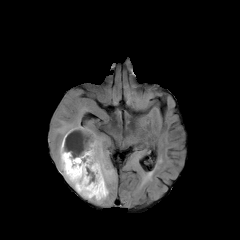
FLAIR MRI.
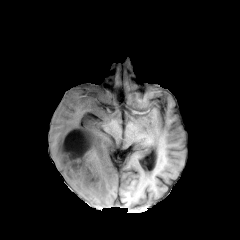
T1-weighted MR image of the same slice.
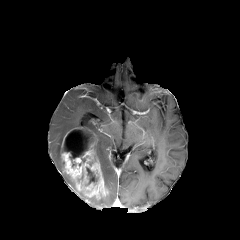
Same slice, post-contrast T1-weighted magnetic resonance.
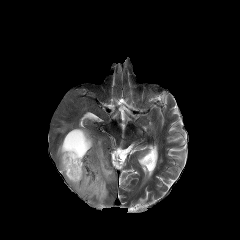
T2-weighted MR.
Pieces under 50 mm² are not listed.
The enhancing tumor appears at (left=61, top=127, right=108, bottom=199). The 2 largest necrotic tumor core regions are bounded by (left=64, top=129, right=93, bottom=159), (left=86, top=167, right=97, bottom=184). The 5 largest peritumoral edema regions appear at (left=79, top=193, right=108, bottom=204), (left=95, top=135, right=115, bottom=189), (left=56, top=120, right=81, bottom=137), (left=62, top=172, right=75, bottom=190), (left=57, top=138, right=62, bottom=171).